Image size 240x240
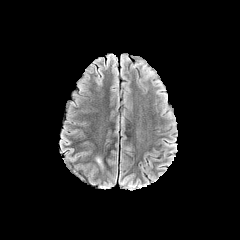
FLAIR MR.
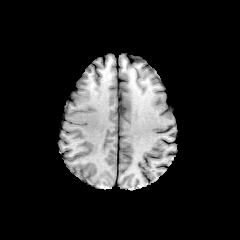
T1-weighted MR image.
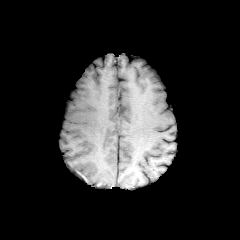
Post-contrast T1-weighted MR of the same slice.
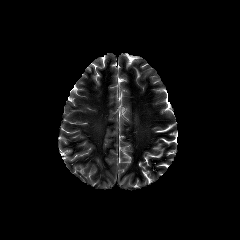
T2-weighted MR image.
* peritumoral edema: box=[94, 156, 104, 172]